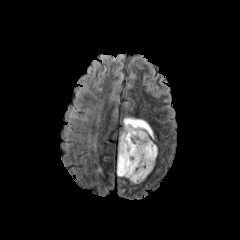
FLAIR MR image.
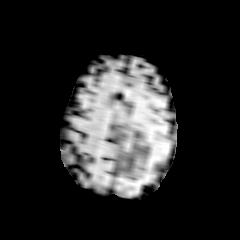
Same slice, T1-weighted MRI.
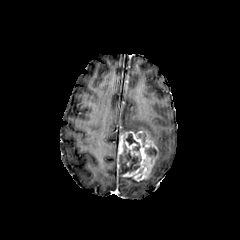
Same slice, post-contrast T1-weighted magnetic resonance.
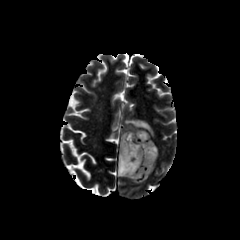
Same slice, T2-weighted MR.
Axial plane
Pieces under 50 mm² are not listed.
necrotic tumor core: [x1=147, y1=148, x2=156, y2=157], [x1=119, y1=145, x2=141, y2=174], [x1=126, y1=134, x2=139, y2=150] | enhancing tumor: [x1=117, y1=131, x2=158, y2=181] | peritumoral edema: [x1=122, y1=117, x2=154, y2=139]